FLAIR magnetic resonance.
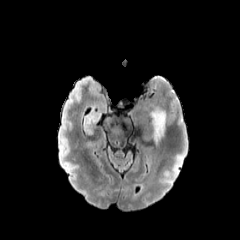
T1-weighted MR.
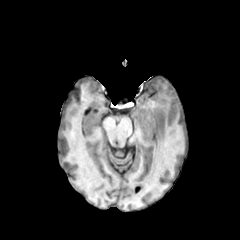
Post-contrast T1-weighted MR.
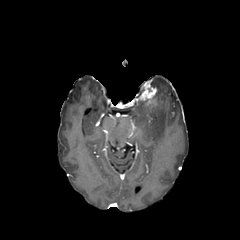
T2-weighted magnetic resonance.
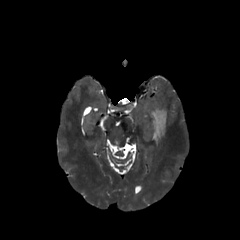
Axial plane | 240x240 px | Brain
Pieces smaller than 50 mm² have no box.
The largest peritumoral edema region is bounded by [x1=150, y1=107, x2=166, y2=142]. The enhancing tumor appears at [x1=140, y1=88, x2=156, y2=99].